Slice 101/155. Head.
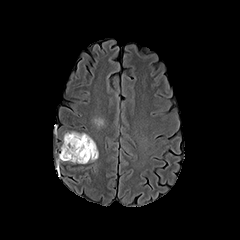
FLAIR MR image.
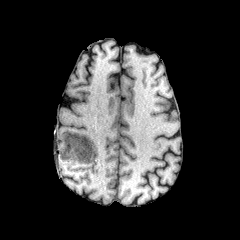
T1-weighted magnetic resonance of the same slice.
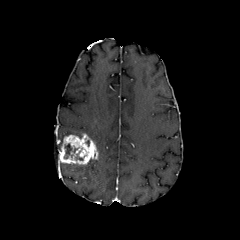
Post-contrast T1-weighted MR image of the same slice.
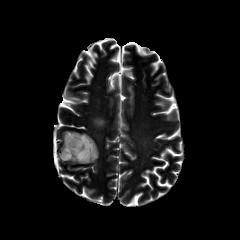
Same slice, T2-weighted MR image.
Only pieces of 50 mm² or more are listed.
enhancing tumor: bounding box 58:133:98:164
peritumoral edema: bounding box 64:131:82:137, 93:117:104:127
necrotic tumor core: bounding box 64:144:71:158